Axial slice; Slice index 82; Image size 240x240
FLAIR magnetic resonance.
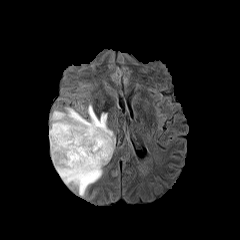
T1-weighted MR.
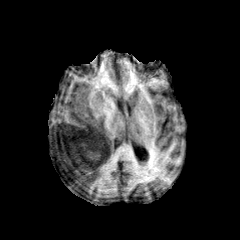
Post-contrast T1-weighted magnetic resonance.
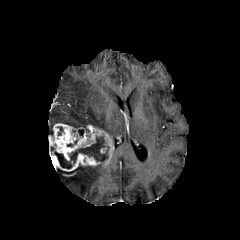
T2-weighted MRI.
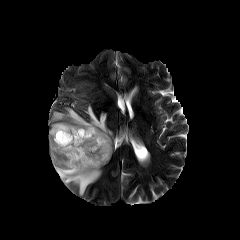
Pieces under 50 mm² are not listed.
enhancing_tumor:
  - bbox(49, 123, 114, 171)
peritumoral_edema:
  - bbox(56, 165, 102, 195)
  - bbox(49, 104, 114, 146)
necrotic_tumor_core:
  - bbox(54, 151, 72, 168)
  - bbox(69, 136, 108, 162)